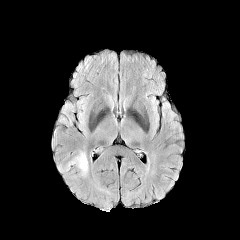
FLAIR MR.
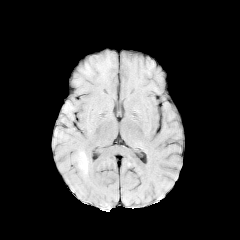
T1-weighted magnetic resonance.
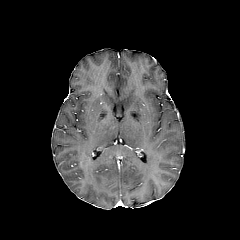
Post-contrast T1-weighted MR image.
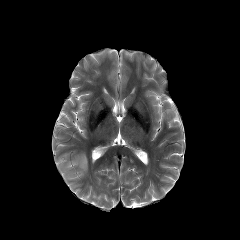
T2-weighted MR image of the same slice.
Brain. Axial view. Image size 240x240.
<segmentation>
  <peritumoral_edema>region(58, 151, 88, 178)</peritumoral_edema>
</segmentation>